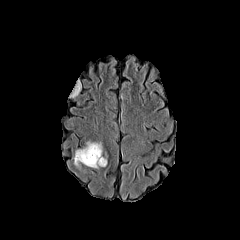
FLAIR MR image.
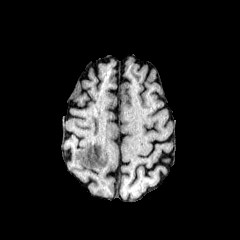
T1-weighted magnetic resonance.
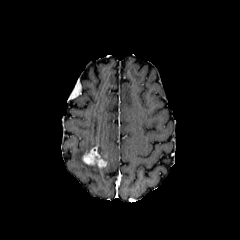
Post-contrast T1-weighted MR of the same slice.
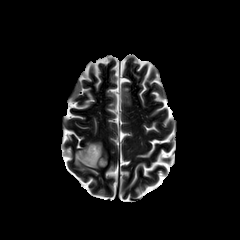
T2-weighted MR.
Head; Axial slice
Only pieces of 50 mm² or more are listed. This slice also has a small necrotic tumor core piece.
peritumoral_edema:
  - (left=74, top=138, right=108, bottom=170)
enhancing_tumor:
  - (left=82, top=146, right=106, bottom=167)